FLAIR MRI.
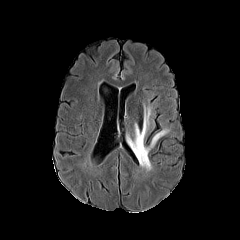
T1-weighted MR.
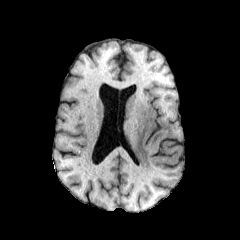
Post-contrast T1-weighted MR image.
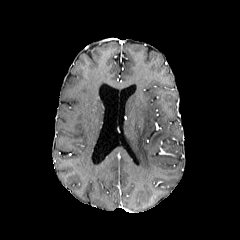
T2-weighted MR image.
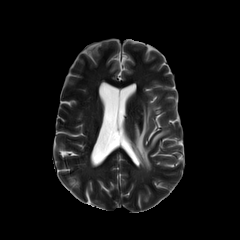
Head; Axial slice
The peritumoral edema is at box=[128, 105, 168, 170].